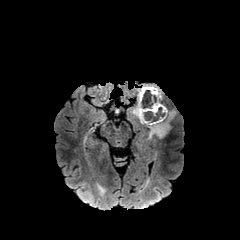
FLAIR MRI.
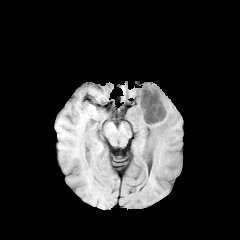
Same slice, T1-weighted MR.
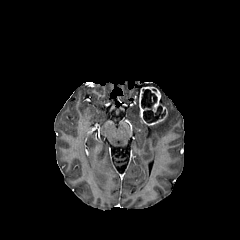
Post-contrast T1-weighted MR of the same slice.
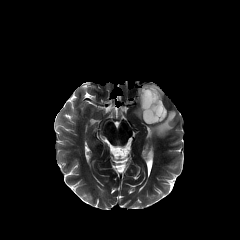
T2-weighted MR image.
240x240 px. Brain.
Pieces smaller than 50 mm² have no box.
{
  "enhancing_tumor": [
    "[139, 86, 167, 125]"
  ],
  "peritumoral_edema": [
    "[130, 88, 145, 124]",
    "[142, 84, 163, 104]",
    "[146, 110, 176, 139]"
  ],
  "necrotic_tumor_core": [
    "[143, 107, 165, 122]",
    "[141, 89, 152, 108]"
  ]
}